Brain, 240x240 px
FLAIR magnetic resonance.
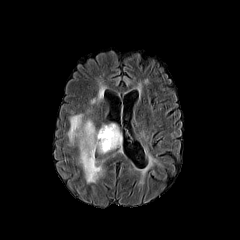
T1-weighted magnetic resonance.
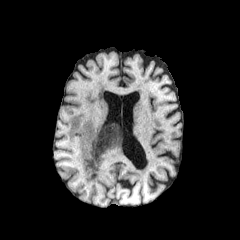
Post-contrast T1-weighted magnetic resonance.
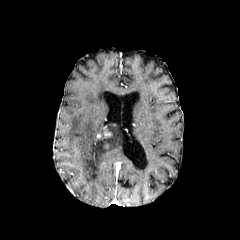
T2-weighted MR.
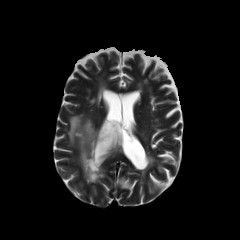
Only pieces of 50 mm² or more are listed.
The largest peritumoral edema region is bounded by {"x1": 68, "y1": 115, "x2": 121, "y2": 182}. The enhancing tumor is located at {"x1": 97, "y1": 126, "x2": 110, "y2": 138}.